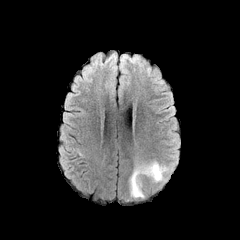
FLAIR MRI.
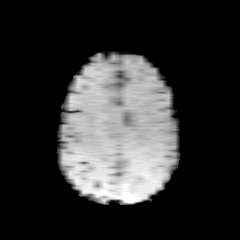
T1-weighted MR.
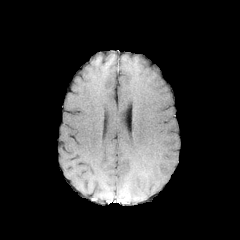
Same slice, post-contrast T1-weighted MRI.
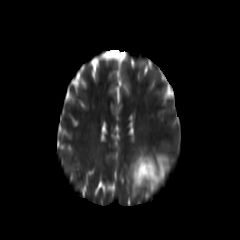
T2-weighted magnetic resonance.
Axial view; 240x240 px
peritumoral edema — l=129, t=158, r=169, b=198